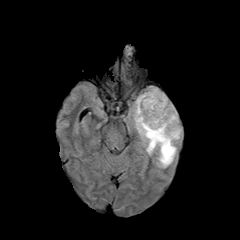
FLAIR MRI.
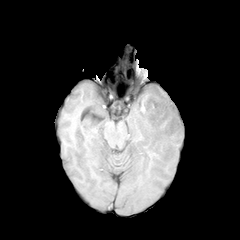
T1-weighted MRI.
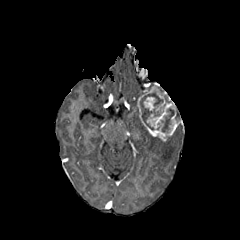
Same slice, post-contrast T1-weighted MR image.
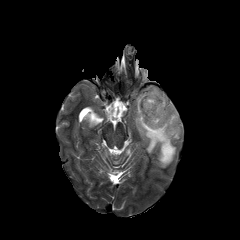
Same slice, T2-weighted MRI.
Head | 240x240 | Axial slice
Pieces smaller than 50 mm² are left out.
necrotic tumor core: bounding box bbox(161, 108, 174, 132); bbox(140, 93, 162, 130)
enhancing tumor: bounding box bbox(137, 87, 179, 141)
peritumoral edema: bounding box bbox(133, 94, 182, 167)